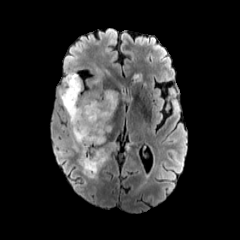
FLAIR MRI.
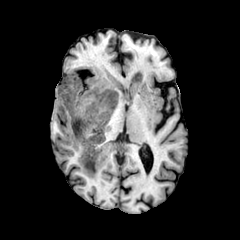
T1-weighted MRI of the same slice.
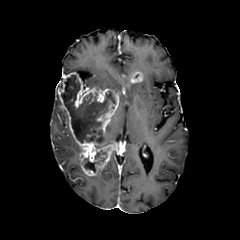
Post-contrast T1-weighted MRI of the same slice.
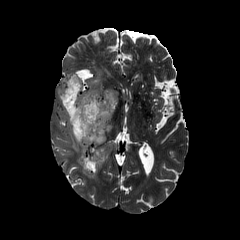
Same slice, T2-weighted magnetic resonance.
Head
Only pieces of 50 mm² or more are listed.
enhancing tumor = box(131, 72, 142, 82); box(57, 72, 119, 176)
peritumoral edema = box(71, 134, 81, 152); box(91, 68, 102, 84)
necrotic tumor core = box(95, 150, 106, 158); box(61, 75, 115, 143); box(83, 157, 105, 172)